Slice 96 of 155, Brain
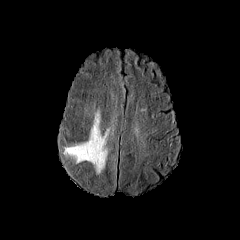
FLAIR MRI.
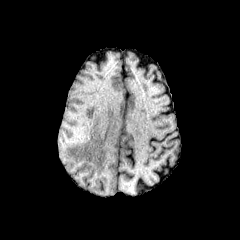
T1-weighted MR.
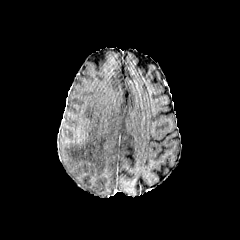
Same slice, post-contrast T1-weighted MR image.
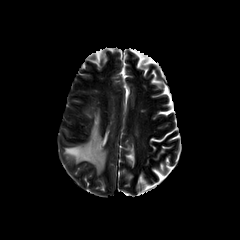
T2-weighted MRI.
peritumoral_edema:
  - (64,109,109,173)